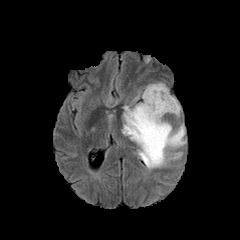
FLAIR MR.
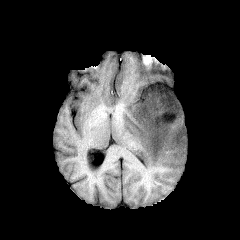
T1-weighted magnetic resonance.
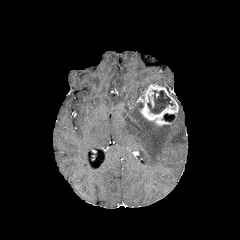
Same slice, post-contrast T1-weighted MR image.
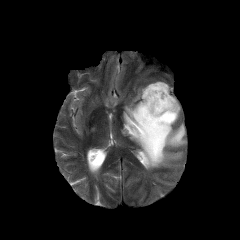
Same slice, T2-weighted magnetic resonance.
Axial view | Brain
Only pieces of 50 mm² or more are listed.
peritumoral_edema:
  - (122,102,185,169)
enhancing_tumor:
  - (140,83,178,126)
necrotic_tumor_core:
  - (147,90,173,113)
  - (163,113,175,121)